FLAIR MRI.
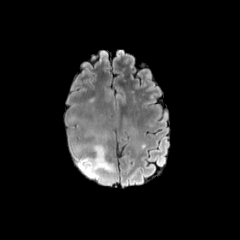
T1-weighted MRI.
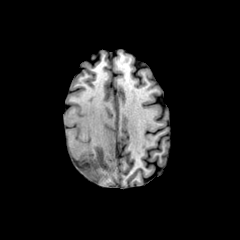
Post-contrast T1-weighted MR.
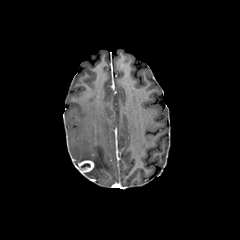
T2-weighted magnetic resonance.
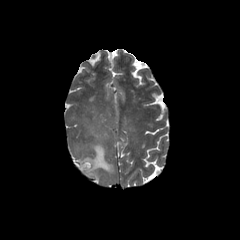
Axial plane.
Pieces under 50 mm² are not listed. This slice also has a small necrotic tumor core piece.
Annotated regions:
- enhancing tumor: bbox(78, 160, 94, 173)
- peritumoral edema: bbox(73, 129, 115, 183)